Slice 91 of 155 | Head | 240x240 px | Axial plane
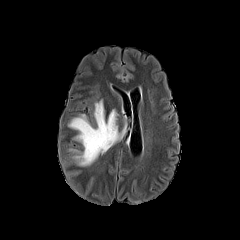
FLAIR MRI.
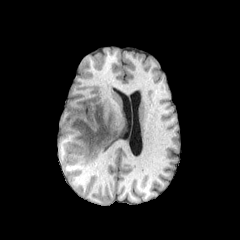
Same slice, T1-weighted MR image.
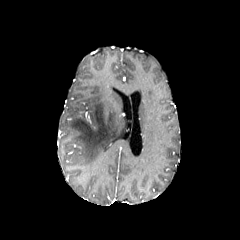
Post-contrast T1-weighted MR of the same slice.
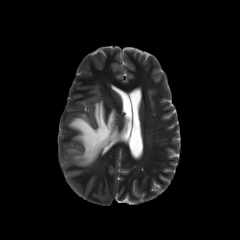
T2-weighted MRI.
peritumoral edema = [69,100,126,165]